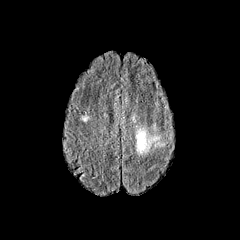
FLAIR MR.
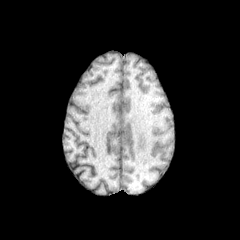
T1-weighted magnetic resonance.
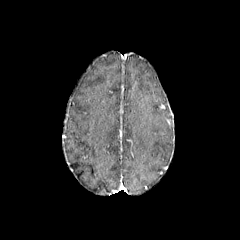
Post-contrast T1-weighted MRI.
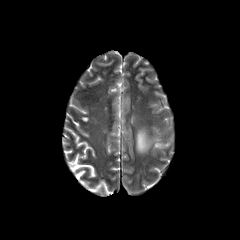
T2-weighted magnetic resonance.
Brain. Axial view.
The peritumoral edema appears at box(136, 129, 150, 153).